Image covers 240 mm x 240 mm | Brain
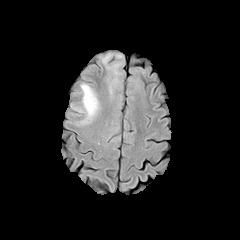
FLAIR MR image.
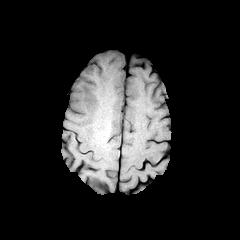
T1-weighted MR.
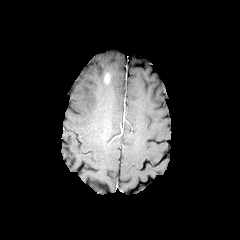
Post-contrast T1-weighted MR image.
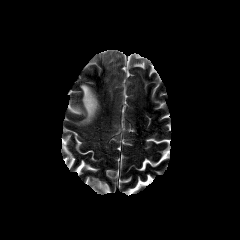
T2-weighted MRI of the same slice.
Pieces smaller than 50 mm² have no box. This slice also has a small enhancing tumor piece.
peritumoral edema — (left=71, top=83, right=99, bottom=124), (left=102, top=54, right=110, bottom=63), (left=110, top=78, right=117, bottom=93), (left=107, top=64, right=119, bottom=75)